FLAIR MR.
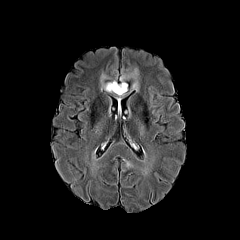
T1-weighted MRI.
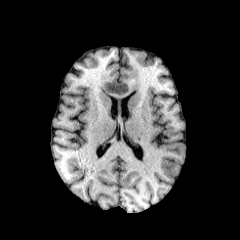
Post-contrast T1-weighted magnetic resonance.
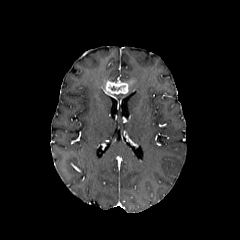
T2-weighted MR image.
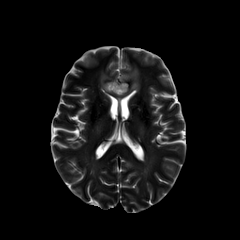
Head; Image size 240x240
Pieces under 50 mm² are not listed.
peritumoral edema: bounding box x1=100, y1=73, x2=109, y2=90; x1=120, y1=68, x2=139, y2=91
necrotic tumor core: bounding box x1=108, y1=84, x2=126, y2=91
enhancing tumor: bounding box x1=104, y1=81, x2=128, y2=94